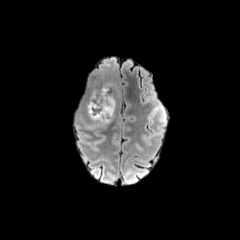
FLAIR MR image.
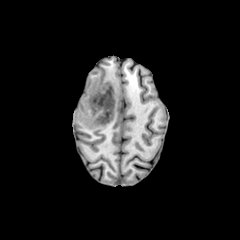
Same slice, T1-weighted MR image.
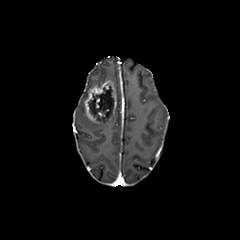
Post-contrast T1-weighted magnetic resonance.
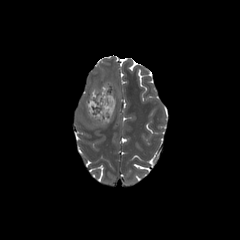
T2-weighted magnetic resonance of the same slice.
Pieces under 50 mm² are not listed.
peritumoral edema: bounding box box=[87, 124, 105, 129]
enhancing tumor: bounding box box=[84, 80, 116, 123]
necrotic tumor core: bounding box box=[88, 86, 113, 121]